FLAIR MR.
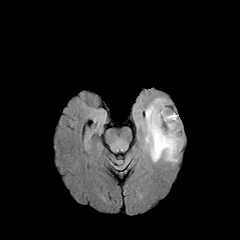
T1-weighted MR image.
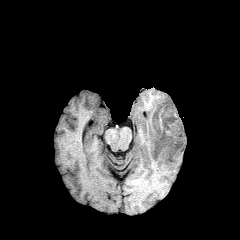
Post-contrast T1-weighted MRI.
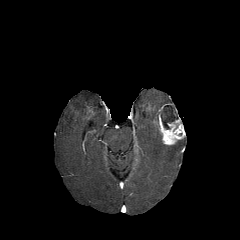
T2-weighted magnetic resonance.
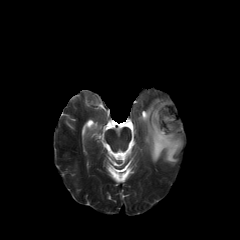
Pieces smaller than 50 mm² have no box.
Annotated regions:
• enhancing tumor: (x1=153, y1=103, x2=185, y2=145)
• peritumoral edema: (x1=141, y1=98, x2=183, y2=163)
• necrotic tumor core: (x1=161, y1=105, x2=178, y2=129)